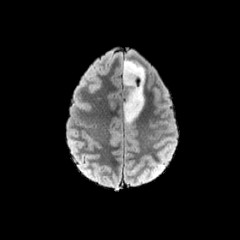
FLAIR MR.
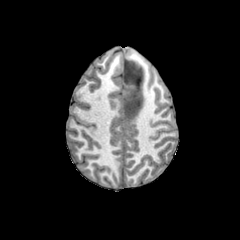
T1-weighted MR image.
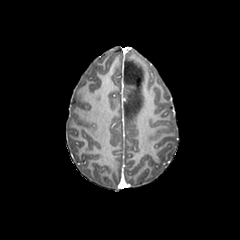
Post-contrast T1-weighted MRI of the same slice.
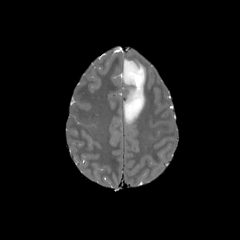
T2-weighted magnetic resonance.
Axial slice; Image size 240x240
peritumoral edema: [123,60,144,124]